FLAIR magnetic resonance.
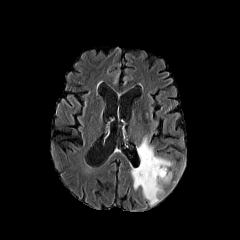
T1-weighted magnetic resonance.
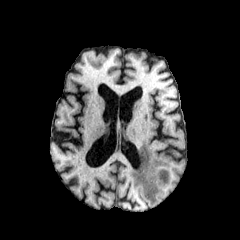
Post-contrast T1-weighted MR image.
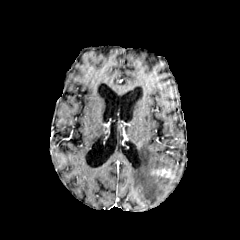
T2-weighted MR.
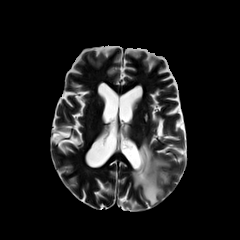
Head
The enhancing tumor is at bbox=[152, 169, 169, 176]. The peritumoral edema appears at bbox=[131, 137, 171, 205].